Axial plane; Image width 240 mm, 1.00 mm slice spacing; Head; Slice index 71
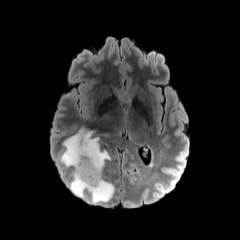
FLAIR MRI.
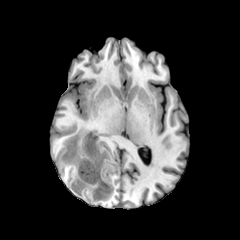
T1-weighted MRI.
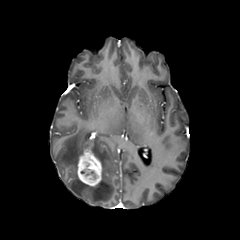
Post-contrast T1-weighted MRI.
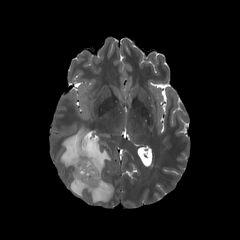
Same slice, T2-weighted magnetic resonance.
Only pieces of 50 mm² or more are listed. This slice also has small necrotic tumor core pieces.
enhancing tumor at box(77, 143, 101, 186)
peritumoral edema at box(60, 127, 114, 203)